Axial plane; Head; Image width 240 mm, 1.00 mm slice spacing; Slice 75 of 155
FLAIR MR image.
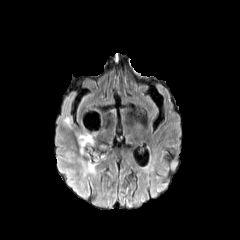
T1-weighted MR.
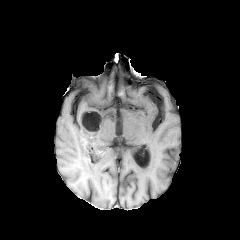
Post-contrast T1-weighted magnetic resonance.
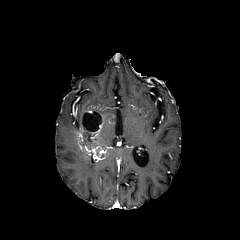
T2-weighted MRI.
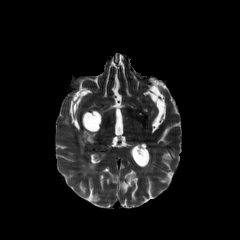
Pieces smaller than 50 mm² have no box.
2 necrotic tumor core regions appear at box=[82, 111, 101, 133]; box=[82, 132, 91, 146]. The largest peritumoral edema region is located at box=[79, 158, 97, 176]. The enhancing tumor is at box=[77, 109, 107, 157].